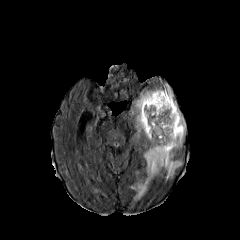
FLAIR MR image.
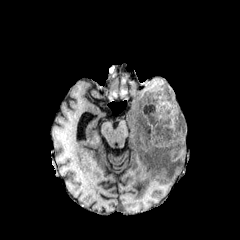
T1-weighted magnetic resonance.
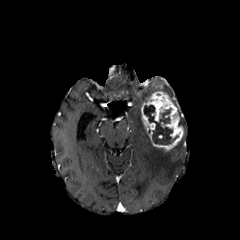
Post-contrast T1-weighted MRI.
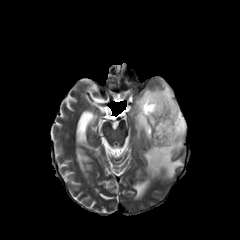
T2-weighted MR image.
240x240. Axial view.
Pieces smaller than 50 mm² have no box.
Findings:
• enhancing tumor: 141, 91, 183, 151
• peritumoral edema: 131, 85, 185, 200
• necrotic tumor core: 143, 105, 178, 144